FLAIR MRI.
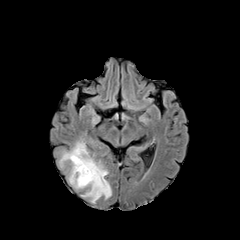
T1-weighted MR image.
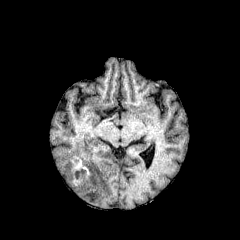
Post-contrast T1-weighted magnetic resonance.
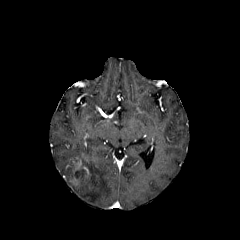
T2-weighted MRI.
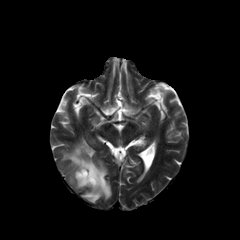
Brain.
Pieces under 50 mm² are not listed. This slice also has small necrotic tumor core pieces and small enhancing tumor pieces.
Findings:
- peritumoral edema: 59, 139, 111, 203